FLAIR MR.
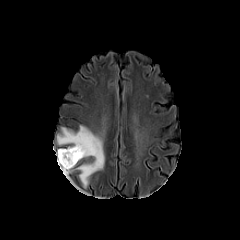
T1-weighted MR image.
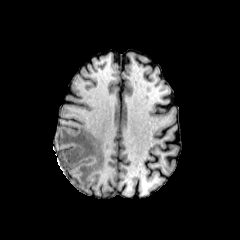
Post-contrast T1-weighted MR image.
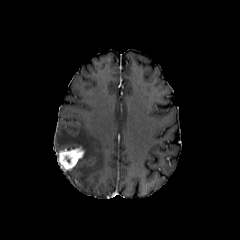
T2-weighted MR.
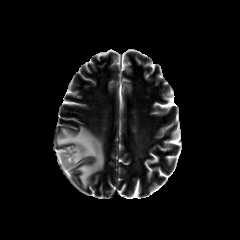
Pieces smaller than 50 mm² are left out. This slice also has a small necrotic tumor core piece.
The enhancing tumor is bounded by x1=58, y1=146, x2=84, y2=171. The largest peritumoral edema region is located at x1=56, y1=125, x2=104, y2=188.